Head | Axial view
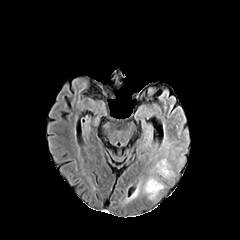
FLAIR MRI.
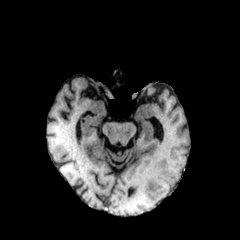
T1-weighted MR.
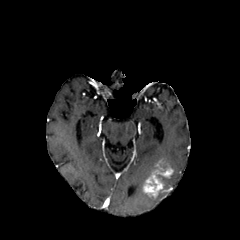
Post-contrast T1-weighted MRI.
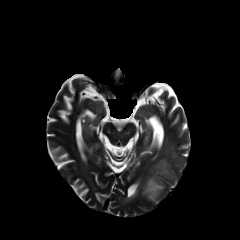
T2-weighted MR image.
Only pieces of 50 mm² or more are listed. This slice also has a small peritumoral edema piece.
enhancing tumor: bbox(142, 158, 173, 198)